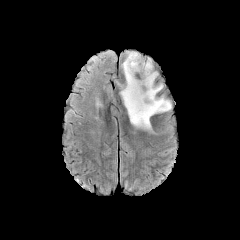
FLAIR magnetic resonance.
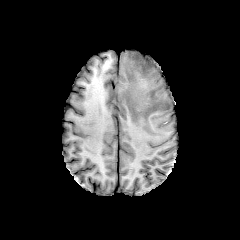
T1-weighted MRI.
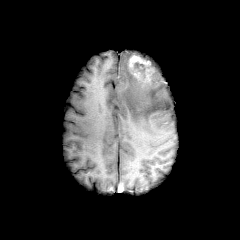
Same slice, post-contrast T1-weighted magnetic resonance.
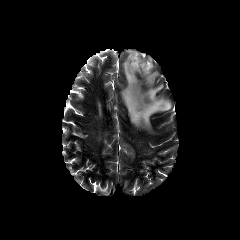
T2-weighted magnetic resonance.
Head
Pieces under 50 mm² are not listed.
peritumoral edema: 120,51,171,130 | necrotic tumor core: 134,62,145,80 | enhancing tumor: 128,54,153,81